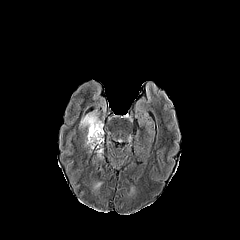
FLAIR MR image.
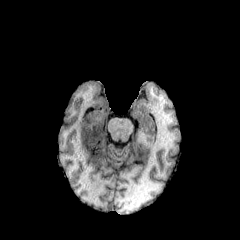
T1-weighted MR.
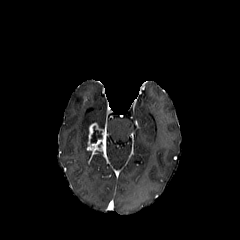
Same slice, post-contrast T1-weighted MRI.
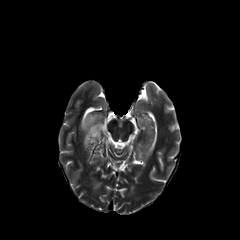
T2-weighted MRI.
Brain
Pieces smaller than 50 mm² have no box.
{
  "enhancing_tumor": [
    "rect(87, 122, 104, 152)"
  ],
  "peritumoral_edema": [
    "rect(79, 112, 103, 146)"
  ],
  "necrotic_tumor_core": [
    "rect(91, 126, 102, 142)"
  ]
}